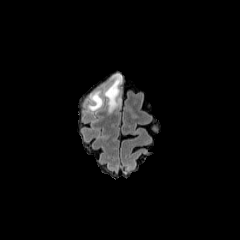
FLAIR MR.
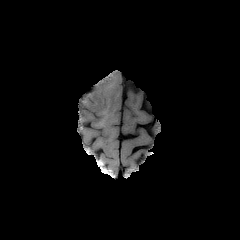
Same slice, T1-weighted MR image.
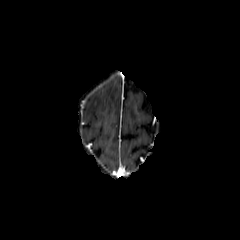
Post-contrast T1-weighted MR image.
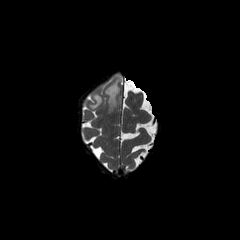
T2-weighted MR.
Axial view
peritumoral edema: bounding box [105,75,121,112], [89,90,102,110]